FLAIR magnetic resonance.
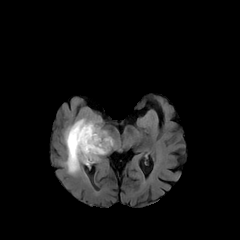
T1-weighted MR.
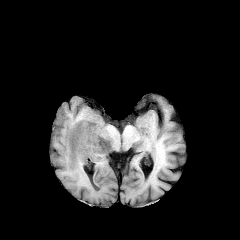
Post-contrast T1-weighted MR image.
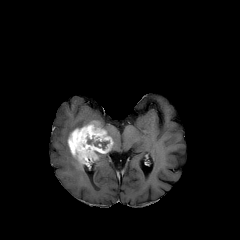
T2-weighted MRI.
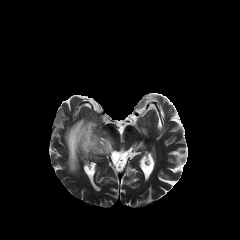
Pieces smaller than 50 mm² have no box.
<segmentation>
  <enhancing_tumor>left=68, top=121, right=113, bottom=168</enhancing_tumor>
  <necrotic_tumor_core>left=86, top=133, right=110, bottom=149</necrotic_tumor_core>
  <peritumoral_edema>left=63, top=117, right=101, bottom=174</peritumoral_edema>
</segmentation>